FLAIR MRI.
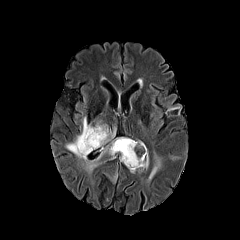
T1-weighted MR.
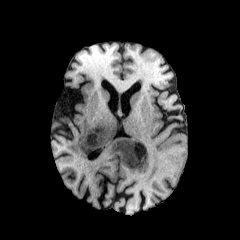
Post-contrast T1-weighted MR image.
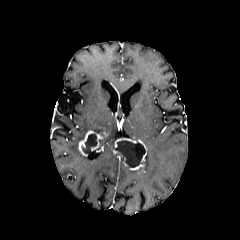
T2-weighted magnetic resonance.
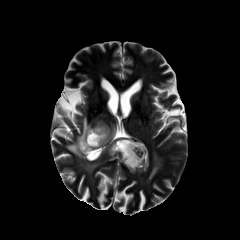
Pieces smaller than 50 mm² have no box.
<segmentation>
  <necrotic_tumor_core>left=114, top=140, right=145, bottom=167; left=82, top=134, right=97, bottom=153</necrotic_tumor_core>
  <peritumoral_edema>left=110, top=172, right=117, bottom=183; left=66, top=117, right=115, bottom=172; left=143, top=152, right=148, bottom=169; left=148, top=154, right=160, bottom=180</peritumoral_edema>
  <enhancing_tumor>left=114, top=138, right=147, bottom=170; left=78, top=130, right=108, bottom=156</enhancing_tumor>
</segmentation>